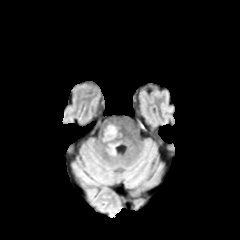
FLAIR MR.
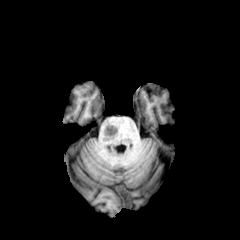
T1-weighted MR.
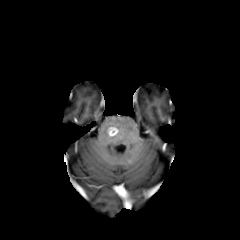
Post-contrast T1-weighted MR image.
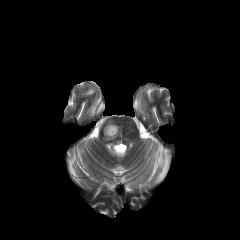
T2-weighted MRI of the same slice.
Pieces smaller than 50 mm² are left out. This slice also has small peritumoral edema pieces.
enhancing tumor: bounding box [x1=107, y1=126, x2=118, y2=136]